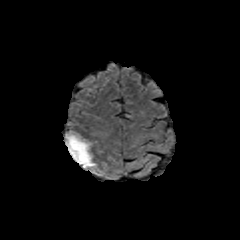
FLAIR magnetic resonance.
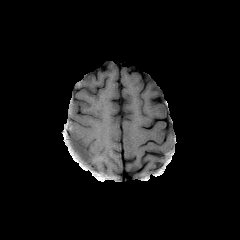
T1-weighted magnetic resonance.
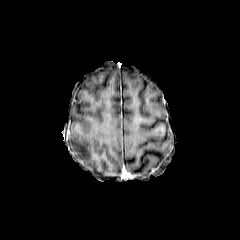
Same slice, post-contrast T1-weighted magnetic resonance.
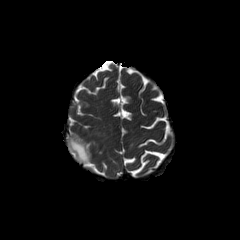
T2-weighted MRI.
Image size 240x240 | Axial slice
Segmented structures:
* peritumoral edema: bbox(67, 132, 95, 168)